Image width 240 mm, 1.00 mm slice spacing; Slice index 122
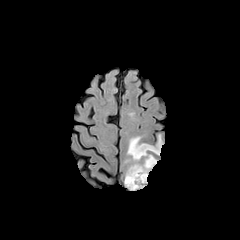
FLAIR MR.
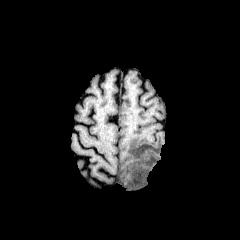
T1-weighted MR.
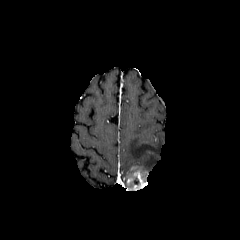
Post-contrast T1-weighted magnetic resonance.
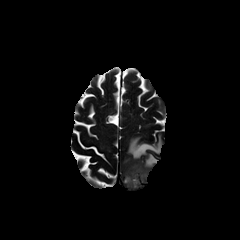
T2-weighted MR image.
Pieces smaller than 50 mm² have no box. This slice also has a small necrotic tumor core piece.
The enhancing tumor lies within x1=126 y1=165 x2=148 y2=190. The largest peritumoral edema region is bounded by x1=127 y1=135 x2=162 y2=170.